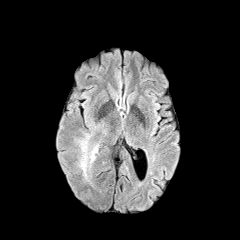
FLAIR MR.
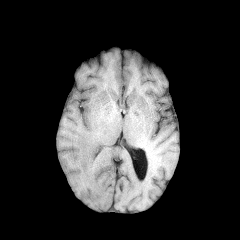
T1-weighted MRI of the same slice.
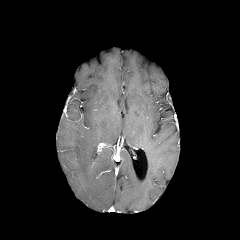
Post-contrast T1-weighted magnetic resonance.
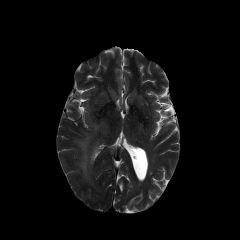
T2-weighted MR of the same slice.
Axial plane
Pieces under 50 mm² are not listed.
<segmentation>
  <peritumoral_edema>[77,133,98,180]</peritumoral_edema>
</segmentation>